FLAIR MR.
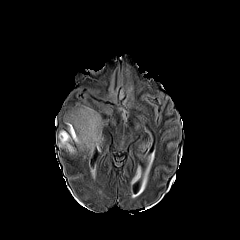
T1-weighted MR image.
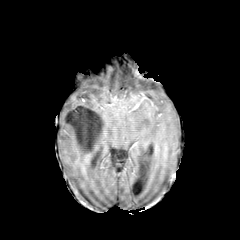
Post-contrast T1-weighted magnetic resonance.
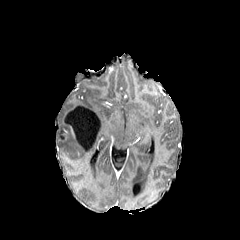
T2-weighted MR.
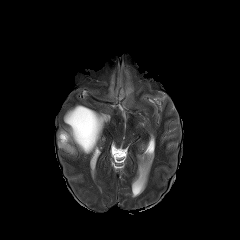
Axial plane; Head
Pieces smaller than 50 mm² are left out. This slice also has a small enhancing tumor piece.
{"peritumoral_edema": ["58 104 103 155"], "necrotic_tumor_core": ["65 106 100 151"]}